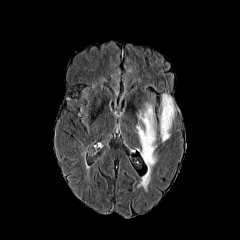
FLAIR MRI.
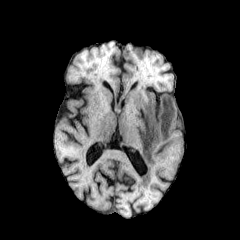
T1-weighted MRI.
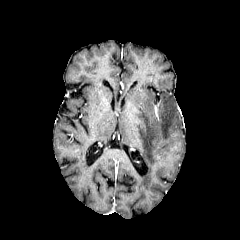
Post-contrast T1-weighted MRI of the same slice.
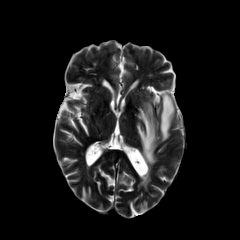
T2-weighted MR image of the same slice.
Head | Axial view
Findings:
* peritumoral edema: box=[160, 93, 175, 141]; box=[136, 103, 156, 170]